Slice 86 of 155; Brain
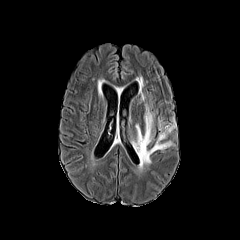
FLAIR MR image.
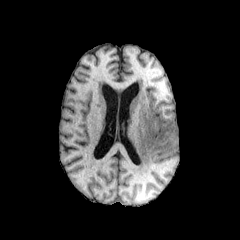
Same slice, T1-weighted MR image.
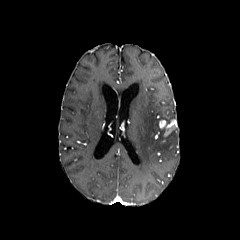
Post-contrast T1-weighted MR.
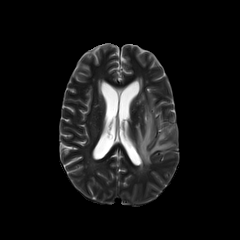
T2-weighted magnetic resonance of the same slice.
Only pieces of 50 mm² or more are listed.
The largest peritumoral edema region is bounded by [135,104,173,171]. The enhancing tumor is at [159,119,176,136].